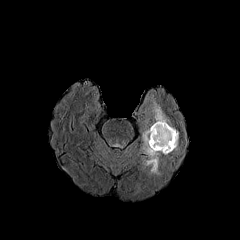
FLAIR MRI.
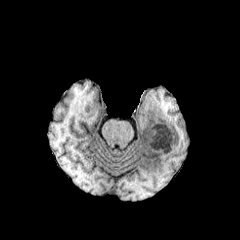
T1-weighted MRI.
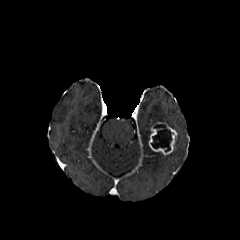
Post-contrast T1-weighted MRI.
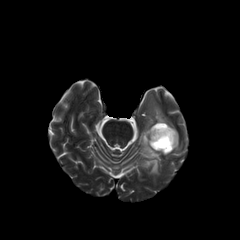
T2-weighted MR of the same slice.
Axial plane | 240x240 px | Brain
necrotic_tumor_core:
  - (left=151, top=124, right=173, bottom=152)
peritumoral_edema:
  - (left=141, top=129, right=160, bottom=175)
  - (left=152, top=101, right=178, bottom=150)
enhancing_tumor:
  - (left=148, top=122, right=177, bottom=154)